FLAIR MR.
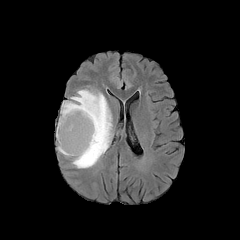
T1-weighted MRI.
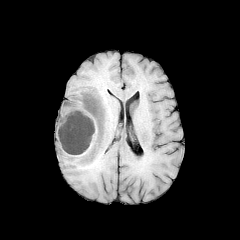
Post-contrast T1-weighted MRI.
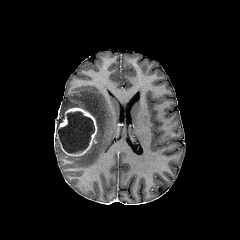
T2-weighted MR.
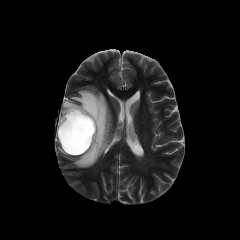
Head.
The enhancing tumor is located at (56, 107, 97, 156). The necrotic tumor core lies within (58, 111, 94, 153). The peritumoral edema is bounded by (57, 89, 112, 168).